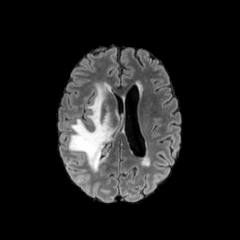
FLAIR MRI.
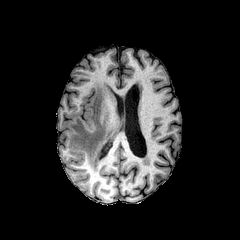
T1-weighted MR image of the same slice.
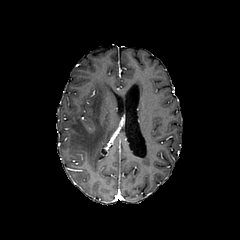
Same slice, post-contrast T1-weighted MRI.
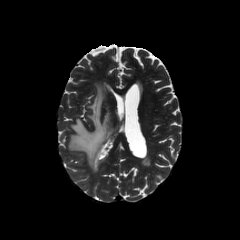
Same slice, T2-weighted magnetic resonance.
Axial slice; Brain
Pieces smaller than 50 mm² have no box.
The largest peritumoral edema region is bounded by bbox=[69, 82, 115, 171].